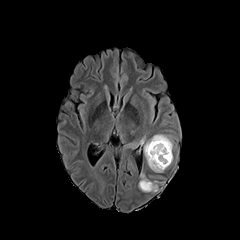
FLAIR MRI.
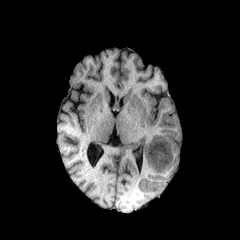
Same slice, T1-weighted magnetic resonance.
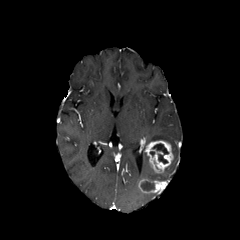
Post-contrast T1-weighted MR.
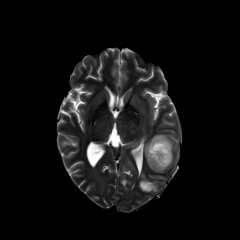
T2-weighted magnetic resonance of the same slice.
Axial view
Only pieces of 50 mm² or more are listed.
enhancing tumor: bounding box x1=145 y1=140 x2=173 y2=172, x1=138 y1=178 x2=160 y2=192
peritumoral edema: bounding box x1=144 y1=134 x2=173 y2=167
necrotic tumor core: bounding box x1=158 y1=154 x2=167 y2=163, x1=152 y1=143 x2=168 y2=154, x1=141 y1=181 x2=154 y2=190